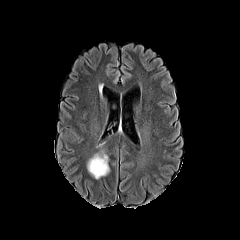
FLAIR MR image.
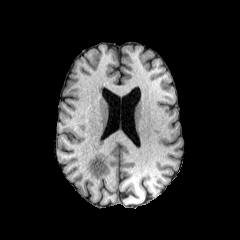
T1-weighted MR of the same slice.
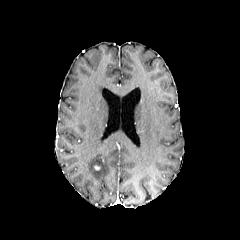
Post-contrast T1-weighted magnetic resonance of the same slice.
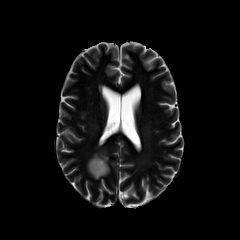
T2-weighted MR image.
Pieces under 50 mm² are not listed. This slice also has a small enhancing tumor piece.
The peritumoral edema lies within x1=87 y1=151 x2=109 y2=179.